240x240, Slice 99 of 155
FLAIR magnetic resonance.
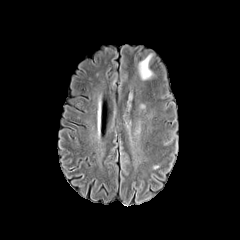
T1-weighted MR.
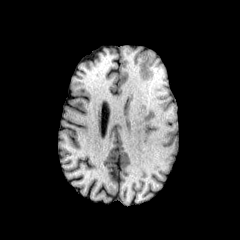
Post-contrast T1-weighted magnetic resonance.
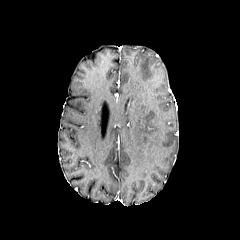
T2-weighted MRI.
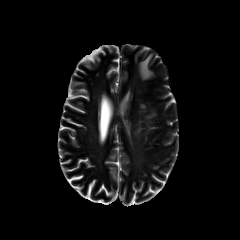
The peritumoral edema is located at x1=139 y1=55 x2=152 y2=79.